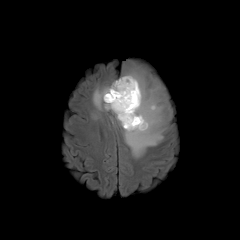
FLAIR MR.
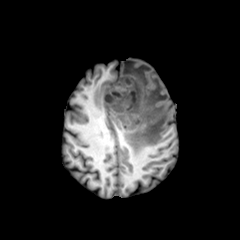
T1-weighted MR image.
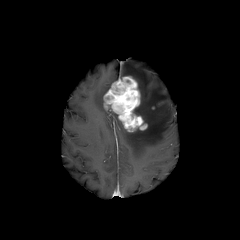
Post-contrast T1-weighted MRI of the same slice.
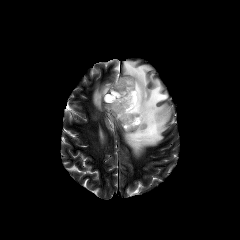
T2-weighted MRI.
240x240
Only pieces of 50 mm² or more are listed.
necrotic tumor core = <box>106,92,117,101</box>
enhancing tumor = <box>103,76,147,132</box>
peritumoral edema = <box>92,62,171,157</box>